Slice 94 of 155 | 240x240
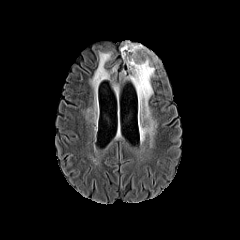
FLAIR MR image.
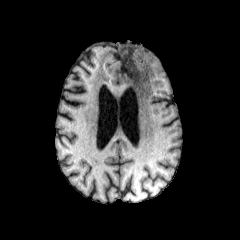
T1-weighted magnetic resonance.
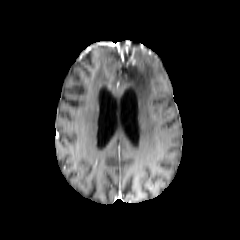
Post-contrast T1-weighted MR.
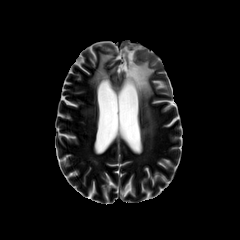
T2-weighted magnetic resonance.
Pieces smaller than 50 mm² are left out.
peritumoral edema: bounding box region(124, 43, 155, 139); region(91, 52, 116, 90)
enhancing tumor: bounding box region(129, 47, 135, 64)